Axial slice, Head
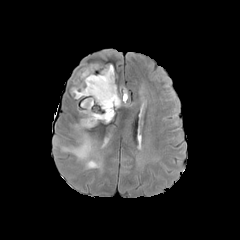
FLAIR magnetic resonance.
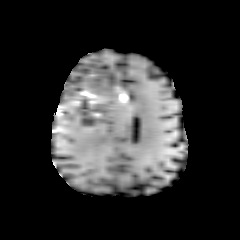
Same slice, T1-weighted magnetic resonance.
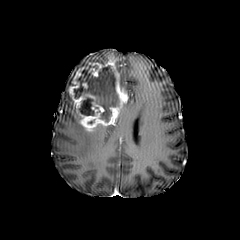
Same slice, post-contrast T1-weighted magnetic resonance.
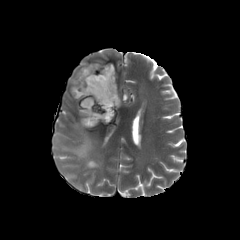
T2-weighted MR.
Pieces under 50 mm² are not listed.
The largest necrotic tumor core region lies within bbox(74, 65, 118, 122). The largest enhancing tumor region is located at bbox(68, 62, 128, 129). The largest peritumoral edema region is bounded by bbox(60, 123, 102, 169).